FLAIR magnetic resonance.
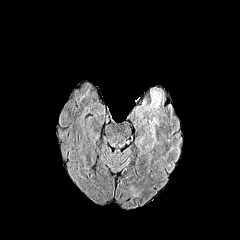
T1-weighted magnetic resonance.
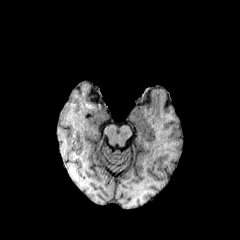
Post-contrast T1-weighted magnetic resonance.
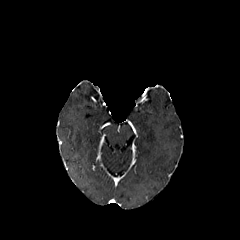
T2-weighted MRI.
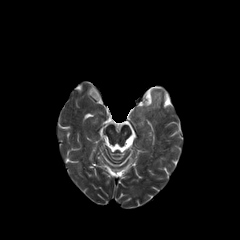
Head.
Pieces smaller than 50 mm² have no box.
peritumoral edema: 151,94,160,107